Head.
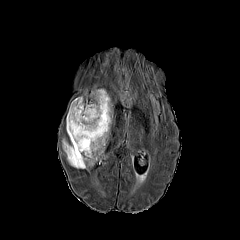
FLAIR magnetic resonance.
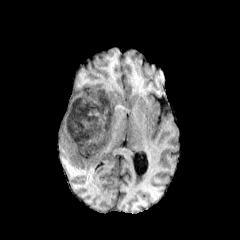
T1-weighted MRI.
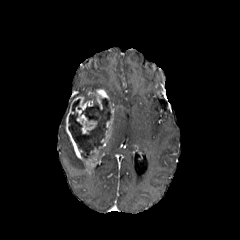
Same slice, post-contrast T1-weighted magnetic resonance.
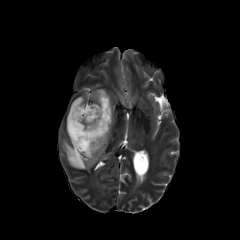
Same slice, T2-weighted MRI.
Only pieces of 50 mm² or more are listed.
enhancing tumor — box=[66, 89, 114, 170]
peritumoral edema — box=[62, 139, 87, 168]
necrotic tumor core — box=[68, 98, 111, 158]; box=[72, 99, 79, 111]